FLAIR MRI.
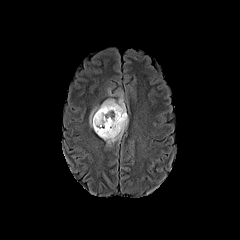
T1-weighted magnetic resonance.
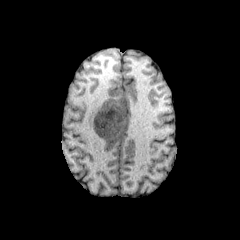
Post-contrast T1-weighted MR image.
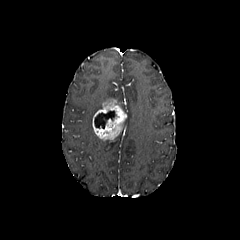
T2-weighted MRI.
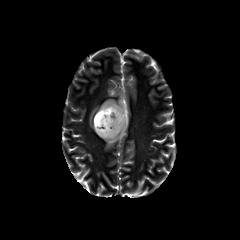
Axial slice; 240x240
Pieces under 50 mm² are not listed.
enhancing tumor = left=92, top=99, right=127, bottom=140
peritumoral edema = left=89, top=105, right=101, bottom=127; left=106, top=117, right=128, bottom=144; left=108, top=91, right=125, bottom=111
necrotic tumor core = left=94, top=111, right=116, bottom=128